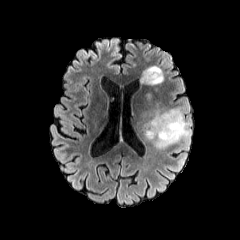
FLAIR magnetic resonance.
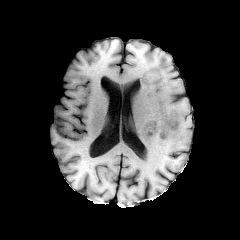
T1-weighted MRI.
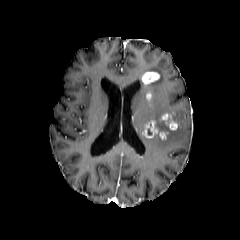
Post-contrast T1-weighted MR.
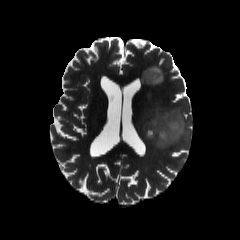
T2-weighted MR.
240x240; Axial view; Brain
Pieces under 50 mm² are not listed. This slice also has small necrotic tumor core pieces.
Segmented structures:
- enhancing tumor: rect(142, 120, 168, 139); rect(141, 71, 159, 85); rect(161, 112, 178, 131)
- peritumoral edema: rect(142, 66, 163, 84); rect(137, 101, 191, 148)